Slice 125 of 155. Head. Image size 240x240. Axial plane.
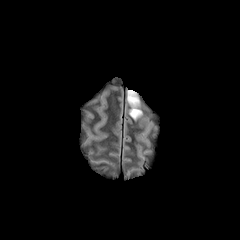
FLAIR magnetic resonance.
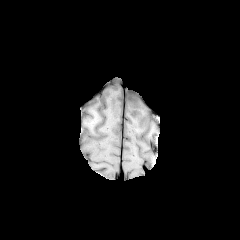
T1-weighted magnetic resonance.
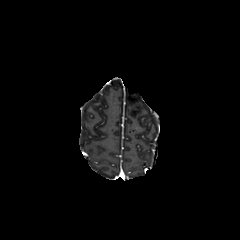
Post-contrast T1-weighted MR.
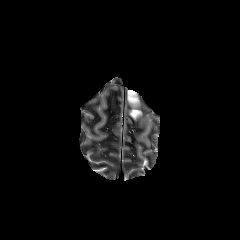
T2-weighted MR of the same slice.
peritumoral edema: bounding box bbox(127, 90, 141, 119)